FLAIR MRI.
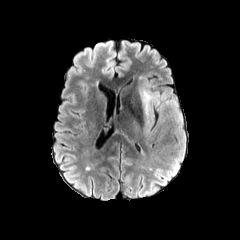
T1-weighted MR image.
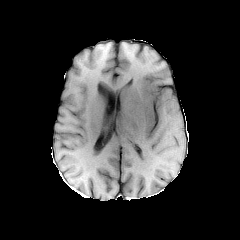
Post-contrast T1-weighted MRI.
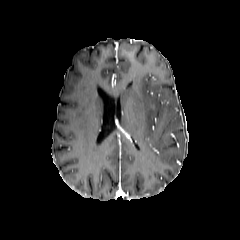
T2-weighted MRI.
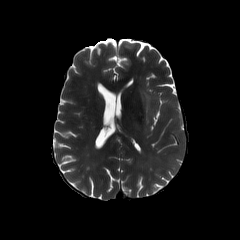
<segmentation>
  <peritumoral_edema>(left=139, top=78, right=159, bottom=134)</peritumoral_edema>
</segmentation>